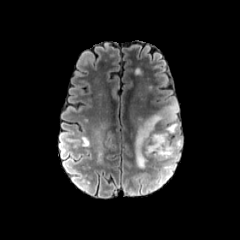
FLAIR MRI.
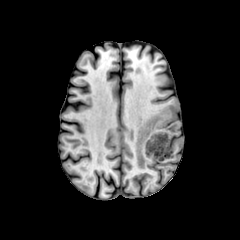
T1-weighted magnetic resonance of the same slice.
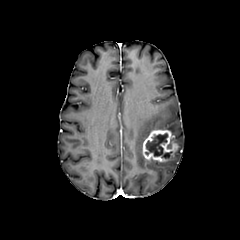
Same slice, post-contrast T1-weighted MR image.
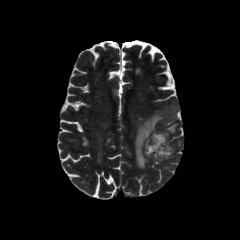
Same slice, T2-weighted MR image.
240x240 px, Brain
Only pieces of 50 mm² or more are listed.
Annotated regions:
- enhancing tumor: (142,130,178,161)
- peritumoral edema: (135,100,178,168), (163,138,182,170)
- necrotic tumor core: (145,133,171,157)